Brain; Axial view
FLAIR MR image.
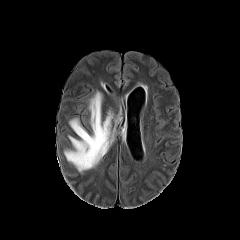
T1-weighted magnetic resonance.
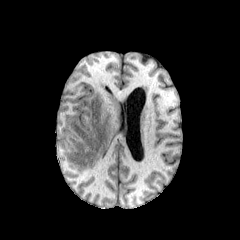
Post-contrast T1-weighted MRI.
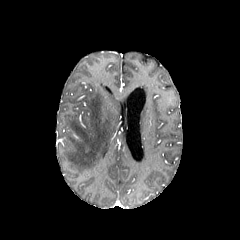
T2-weighted MR image.
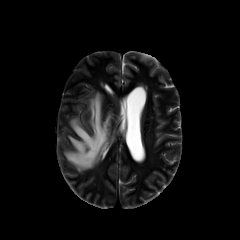
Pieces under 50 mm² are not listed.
peritumoral edema: bbox=[64, 91, 121, 172]